FLAIR MR image.
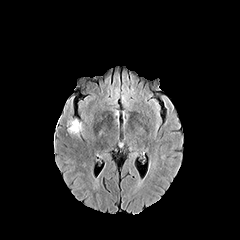
T1-weighted MRI.
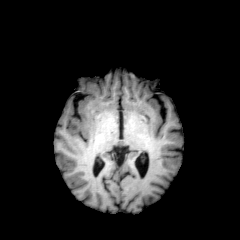
Post-contrast T1-weighted magnetic resonance.
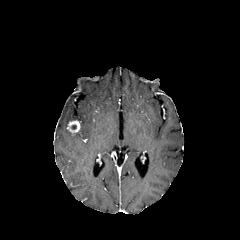
T2-weighted magnetic resonance.
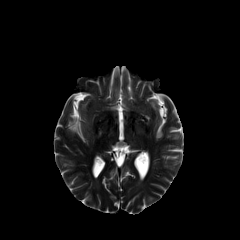
Axial view | 240x240
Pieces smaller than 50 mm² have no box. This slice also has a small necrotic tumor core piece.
enhancing_tumor:
  - left=67, top=120, right=80, bottom=134